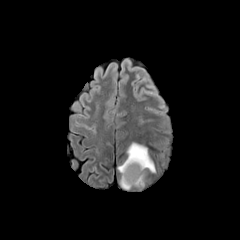
FLAIR MR image.
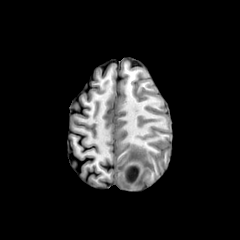
T1-weighted magnetic resonance of the same slice.
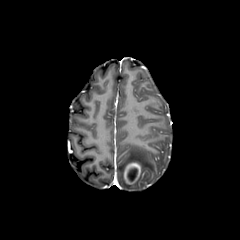
Same slice, post-contrast T1-weighted MR image.
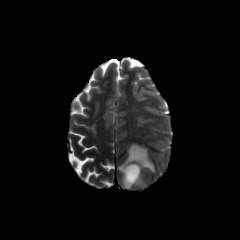
Same slice, T2-weighted magnetic resonance.
Image size 240x240. Head.
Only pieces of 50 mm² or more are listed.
<segmentation>
  <necrotic_tumor_core>region(127, 168, 137, 182)</necrotic_tumor_core>
  <enhancing_tumor>region(123, 163, 140, 184)</enhancing_tumor>
  <peritumoral_edema>region(133, 175, 143, 186); region(118, 143, 155, 189)</peritumoral_edema>
</segmentation>